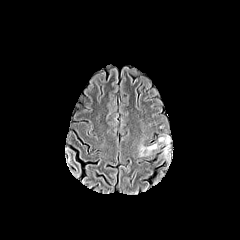
FLAIR MR.
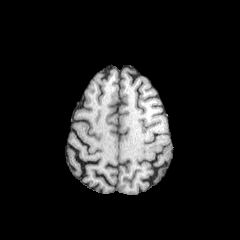
Same slice, T1-weighted MR image.
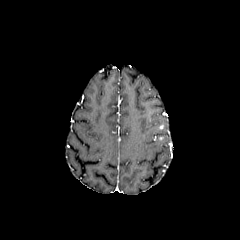
Post-contrast T1-weighted MR image.
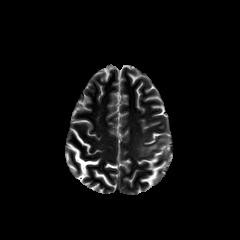
T2-weighted MR image.
Axial slice.
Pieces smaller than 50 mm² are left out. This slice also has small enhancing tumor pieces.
peritumoral_edema:
  - bbox(159, 136, 169, 143)
  - bbox(140, 144, 157, 155)